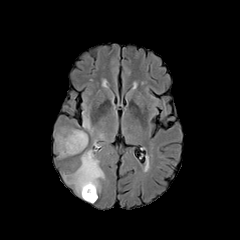
FLAIR magnetic resonance.
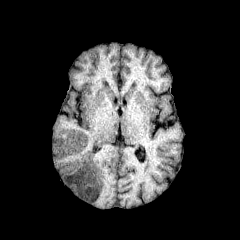
T1-weighted magnetic resonance of the same slice.
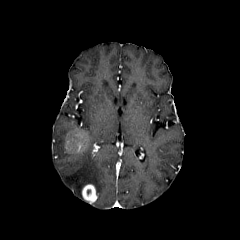
Post-contrast T1-weighted MR image.
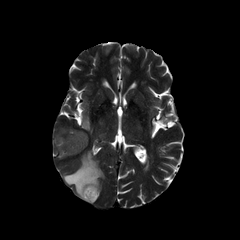
T2-weighted MR image of the same slice.
Axial slice | 240x240
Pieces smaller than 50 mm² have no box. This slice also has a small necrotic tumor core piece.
peritumoral edema — l=82, t=113, r=92, b=131; l=63, t=149, r=104, b=196; l=55, t=127, r=75, b=157
enhancing tumor — l=65, t=129, r=88, b=153; l=82, t=184, r=97, b=203